Image width 240 mm, 1.00 mm slice spacing | Head | Axial plane
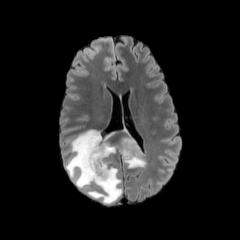
FLAIR MRI.
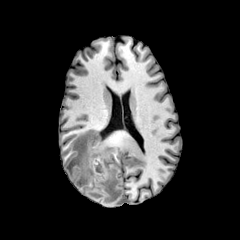
T1-weighted MRI.
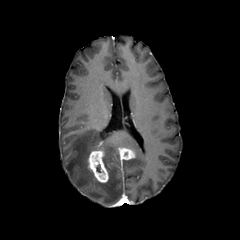
Post-contrast T1-weighted MRI of the same slice.
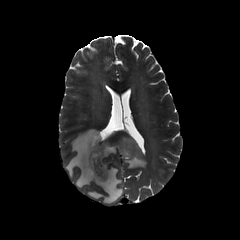
T2-weighted MR.
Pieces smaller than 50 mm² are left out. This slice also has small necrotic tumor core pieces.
peritumoral edema at 65:129:122:204, 119:137:146:168
enhancing tumor at 87:144:108:182, 118:147:135:160